FLAIR MR image.
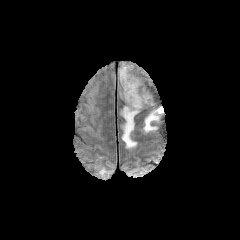
T1-weighted MR image.
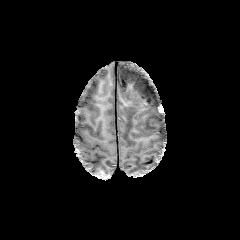
Post-contrast T1-weighted MRI.
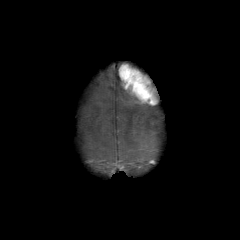
T2-weighted magnetic resonance.
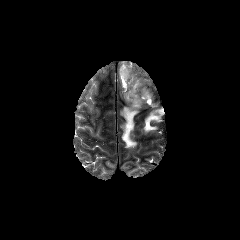
Axial view | 240x240
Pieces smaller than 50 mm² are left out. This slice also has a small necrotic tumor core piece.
enhancing tumor: box=[118, 64, 160, 105]
peritumoral edema: box=[122, 96, 140, 148]; box=[144, 108, 163, 132]